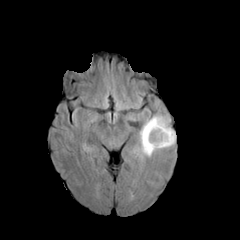
FLAIR magnetic resonance.
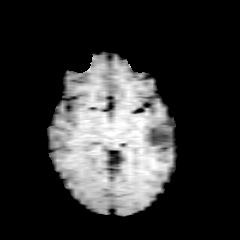
T1-weighted MR.
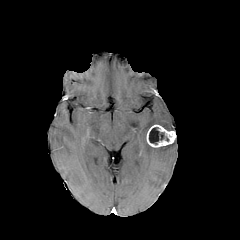
Post-contrast T1-weighted magnetic resonance.
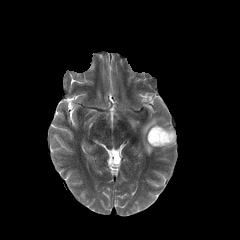
T2-weighted MRI of the same slice.
Axial plane | 240x240 | Head
{
  "enhancing_tumor": [
    "<box>146,124,176,147</box>"
  ],
  "necrotic_tumor_core": [
    "<box>149,127,168,144</box>"
  ],
  "peritumoral_edema": [
    "<box>140,116,174,156</box>"
  ]
}